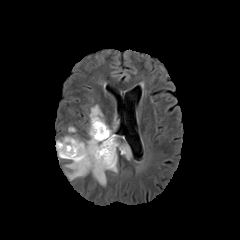
FLAIR MR.
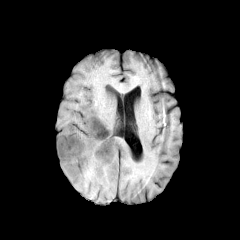
T1-weighted MR.
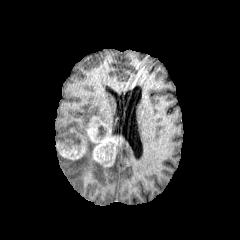
Same slice, post-contrast T1-weighted magnetic resonance.
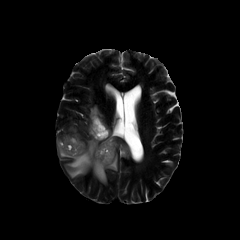
T2-weighted MRI.
Head
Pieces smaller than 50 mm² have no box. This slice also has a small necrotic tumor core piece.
The 3 largest peritumoral edema regions appear at (117,140,129,159), (56,134,117,185), (89,105,104,122). The 2 largest enhancing tumor regions are located at (56,139,86,159), (86,116,118,166).